Image size 240x240. Axial view.
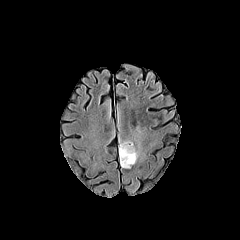
FLAIR MRI.
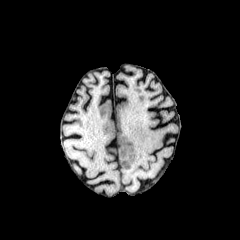
T1-weighted magnetic resonance of the same slice.
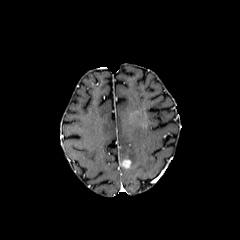
Post-contrast T1-weighted MR image.
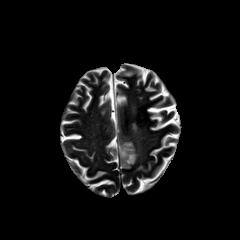
Same slice, T2-weighted magnetic resonance.
enhancing tumor: (x1=120, y1=158, x2=131, y2=168)
peritumoral edema: (x1=119, y1=141, x2=138, y2=165)